FLAIR MR.
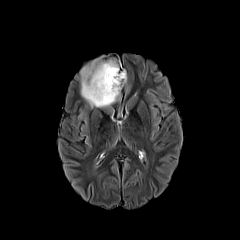
T1-weighted MR image.
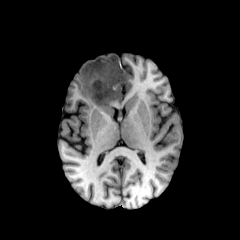
Post-contrast T1-weighted MR.
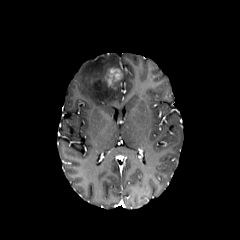
T2-weighted MR image.
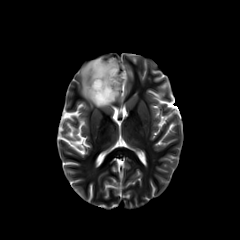
peritumoral edema: bounding box rect(80, 56, 127, 108)
enhancing tumor: bounding box rect(104, 67, 122, 86)